Brain, 240x240 px, Slice 69/155
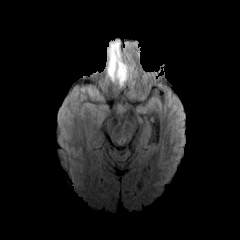
FLAIR magnetic resonance.
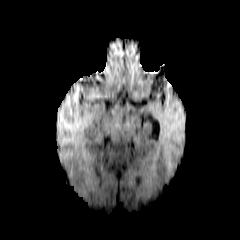
T1-weighted magnetic resonance.
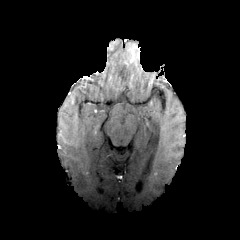
Post-contrast T1-weighted MRI.
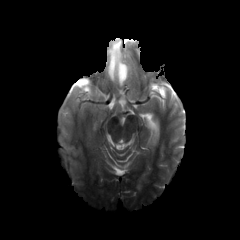
T2-weighted MR image.
peritumoral_edema:
  - (107,41,128,86)
  - (82,87,98,95)